Head
FLAIR magnetic resonance.
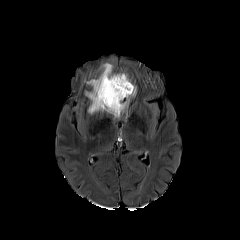
T1-weighted MRI.
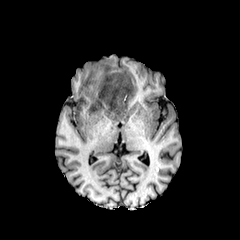
Post-contrast T1-weighted MR image.
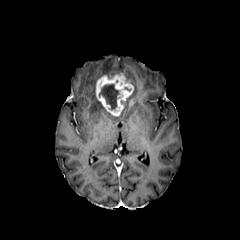
T2-weighted MR.
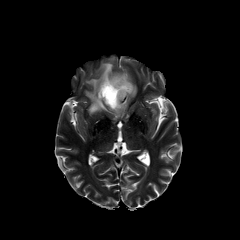
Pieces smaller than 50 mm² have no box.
peritumoral_edema:
  - (100,63,119,76)
  - (85,79,105,113)
  - (121,85,136,109)
necrotic_tumor_core:
  - (99,84,118,109)
enhancing_tumor:
  - (96,73,133,116)